Slice 129/155. Image width 240 mm. Head.
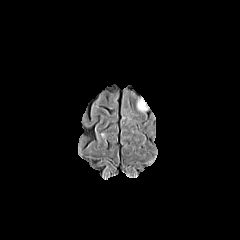
FLAIR MR image.
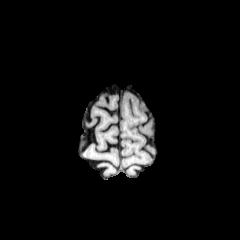
T1-weighted magnetic resonance.
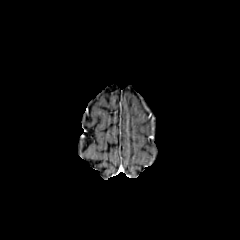
Same slice, post-contrast T1-weighted MR.
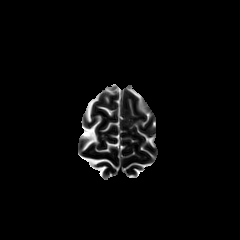
T2-weighted MR image.
The peritumoral edema lies within box=[137, 98, 148, 111].